FLAIR magnetic resonance.
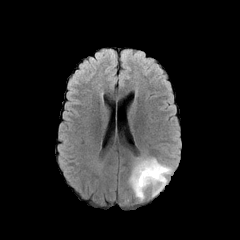
T1-weighted MR image.
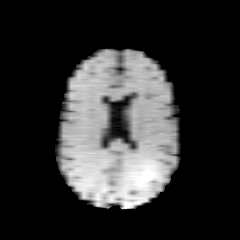
Post-contrast T1-weighted MR image.
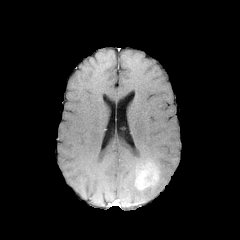
T2-weighted magnetic resonance.
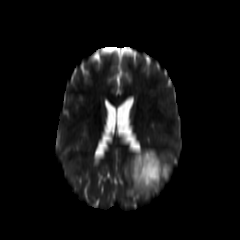
Axial slice | 240x240
• enhancing tumor: rect(135, 161, 159, 189)
• peritumoral edema: rect(129, 152, 172, 200)